Slice 107 of 155.
FLAIR MRI.
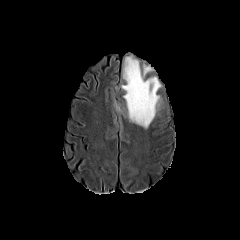
T1-weighted MR image.
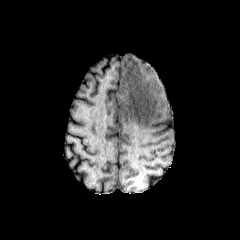
Post-contrast T1-weighted MRI.
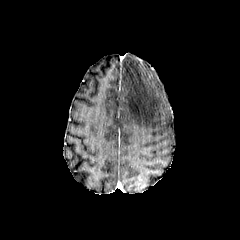
T2-weighted MRI.
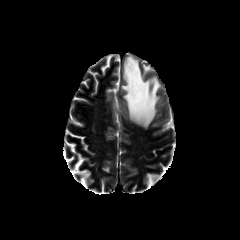
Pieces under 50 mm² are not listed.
peritumoral_edema:
  - (x1=121, y1=56, x2=161, y2=128)